Brain; Slice index 35
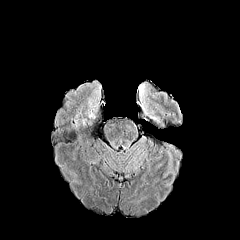
FLAIR MR image.
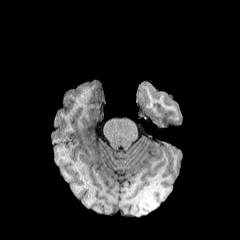
T1-weighted magnetic resonance.
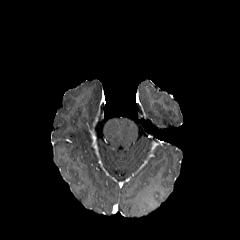
Post-contrast T1-weighted MR image.
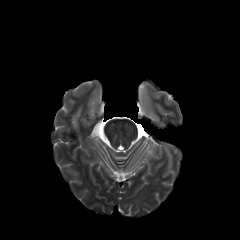
T2-weighted MRI.
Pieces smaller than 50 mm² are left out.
peritumoral edema: (139,84,150,116)